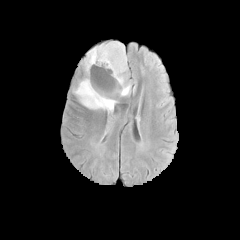
FLAIR MR image.
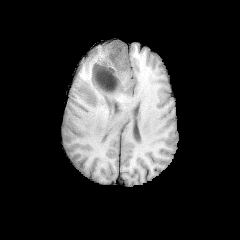
T1-weighted MR image.
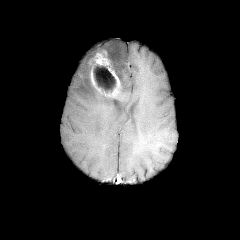
Post-contrast T1-weighted MR.
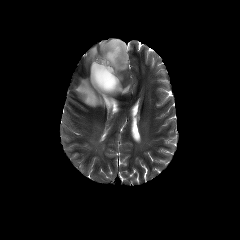
T2-weighted MR.
Axial view, Head
Findings:
- necrotic tumor core: rect(93, 64, 115, 92)
- enhancing tumor: rect(89, 49, 122, 97)
- peritumoral edema: rect(73, 78, 116, 112); rect(83, 41, 130, 95)